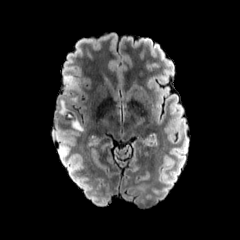
FLAIR MRI.
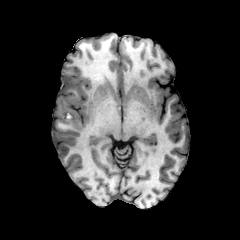
T1-weighted MRI.
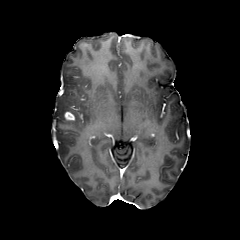
Post-contrast T1-weighted MRI.
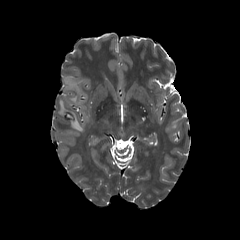
T2-weighted MR image.
Axial slice; Brain
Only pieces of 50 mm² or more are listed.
enhancing tumor = [65,112,74,120]
peritumoral edema = [60,101,66,114], [63,74,76,89], [71,119,83,130]